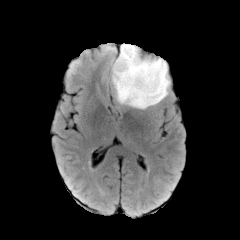
FLAIR MRI.
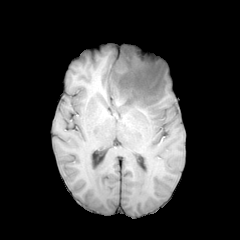
T1-weighted MRI.
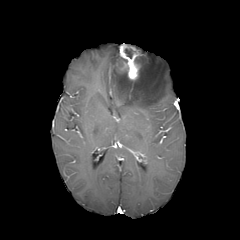
Post-contrast T1-weighted magnetic resonance.
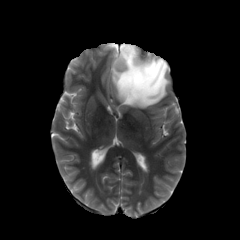
T2-weighted MRI.
<segmentation>
  <enhancing_tumor>(120, 43, 140, 80)</enhancing_tumor>
  <necrotic_tumor_core>(125, 49, 132, 58)</necrotic_tumor_core>
  <peritumoral_edema>(112, 56, 170, 108)</peritumoral_edema>
</segmentation>